FLAIR magnetic resonance.
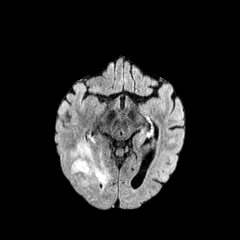
T1-weighted magnetic resonance.
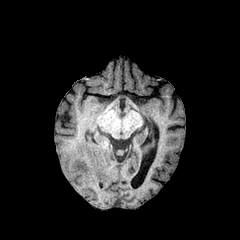
Post-contrast T1-weighted MRI.
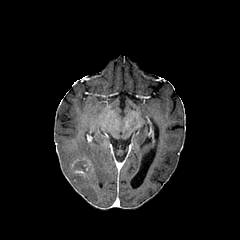
T2-weighted magnetic resonance.
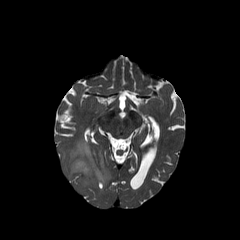
Head; Axial slice
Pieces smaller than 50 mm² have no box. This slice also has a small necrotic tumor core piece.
enhancing tumor: 72,158,90,175 | peritumoral edema: 69,140,110,192